Axial slice, Head
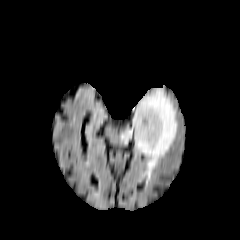
FLAIR MRI.
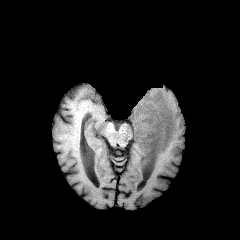
T1-weighted MR of the same slice.
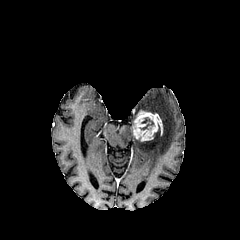
Same slice, post-contrast T1-weighted MR.
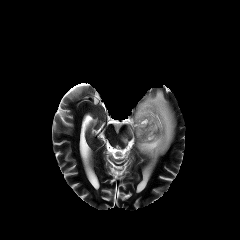
T2-weighted MRI of the same slice.
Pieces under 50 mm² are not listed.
enhancing tumor: (132,110,162,141)
peritumoral edema: (121,89,176,168)
necrotic tumor core: (140,117,153,130)